Axial view, Image size 240x240
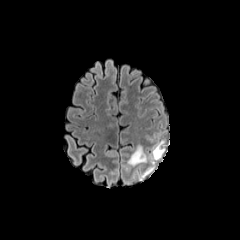
FLAIR MR image.
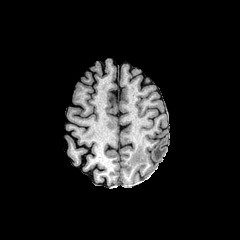
T1-weighted MR.
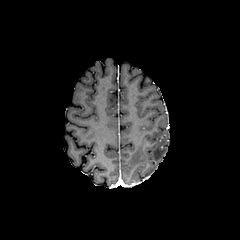
Post-contrast T1-weighted magnetic resonance.
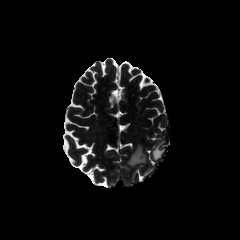
T2-weighted MR image.
peritumoral_edema:
  - (x1=152, y1=141, x2=164, y2=159)
  - (x1=142, y1=165, x2=155, y2=177)
  - (x1=128, y1=146, x2=146, y2=165)